FLAIR magnetic resonance.
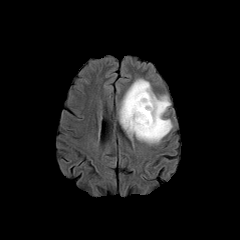
T1-weighted MR image.
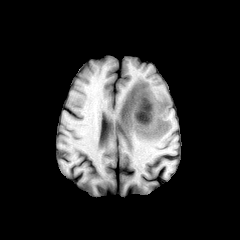
Post-contrast T1-weighted magnetic resonance.
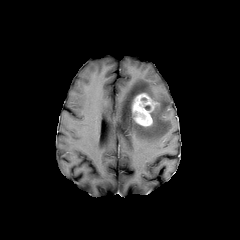
T2-weighted magnetic resonance.
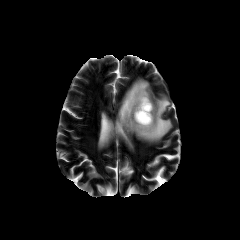
Head; Axial slice
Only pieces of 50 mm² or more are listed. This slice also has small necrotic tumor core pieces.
The peritumoral edema is at <bbox>118, 78, 172, 144</bbox>. The enhancing tumor is at <bbox>132, 93, 159, 126</bbox>.